Image width 240 mm | Head | Slice 115 of 155
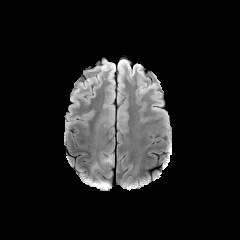
FLAIR MR image.
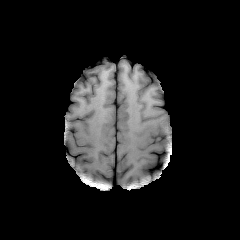
T1-weighted magnetic resonance.
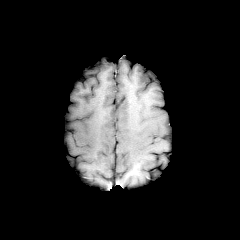
Post-contrast T1-weighted magnetic resonance.
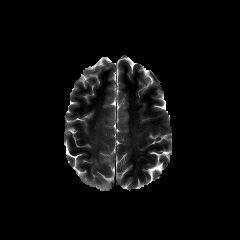
T2-weighted MRI.
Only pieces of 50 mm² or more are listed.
The largest peritumoral edema region appears at [102,154,112,162].